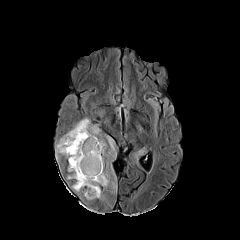
FLAIR magnetic resonance.
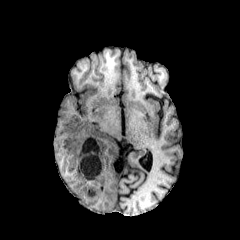
Same slice, T1-weighted MR.
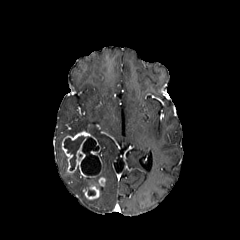
Same slice, post-contrast T1-weighted MRI.
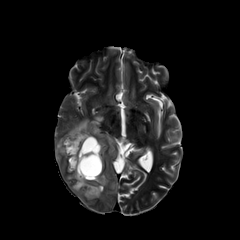
Same slice, T2-weighted MR image.
Axial view. Brain.
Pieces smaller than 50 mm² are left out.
peritumoral_edema:
  - 56 118 106 160
  - 67 156 109 192
  - 111 166 116 191
  - 105 136 115 158
enhancing_tumor:
  - 98 177 105 185
  - 83 183 99 199
  - 62 131 102 178
necrotic_tumor_core:
  - 64 136 85 170
  - 81 137 101 175